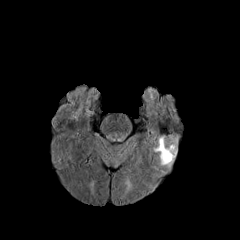
FLAIR magnetic resonance.
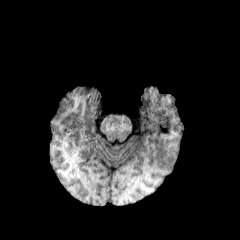
T1-weighted magnetic resonance.
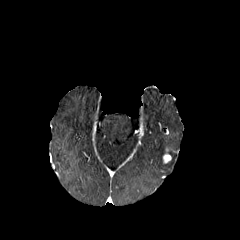
Post-contrast T1-weighted magnetic resonance of the same slice.
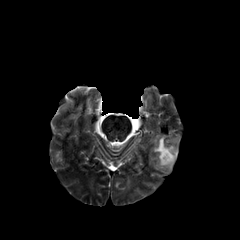
T2-weighted MR image.
240x240, Head, Axial plane
enhancing tumor — region(162, 147, 171, 163)
peritumoral edema — region(153, 136, 176, 167)